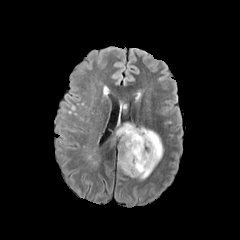
FLAIR MRI.
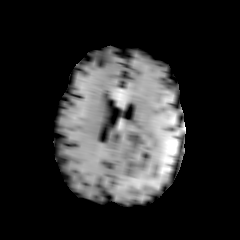
T1-weighted MR.
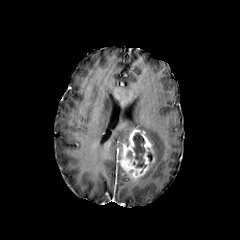
Post-contrast T1-weighted MR.
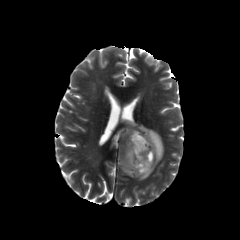
T2-weighted MRI of the same slice.
Head; Axial plane
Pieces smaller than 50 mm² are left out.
peritumoral edema: bounding box (x1=117, y1=123, x2=163, y2=180)
necrotic tumor core: bounding box (x1=133, y1=133, x2=146, y2=167)
enhancing tumor: bounding box (x1=118, y1=129, x2=156, y2=179)